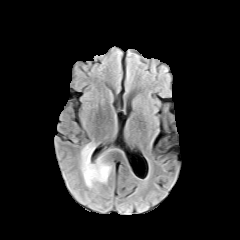
FLAIR MR.
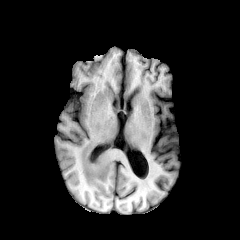
Same slice, T1-weighted MR image.
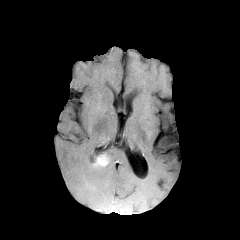
Same slice, post-contrast T1-weighted magnetic resonance.
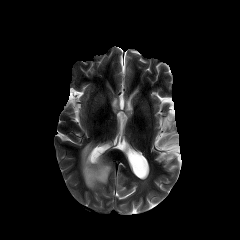
T2-weighted MR of the same slice.
Axial slice, Head
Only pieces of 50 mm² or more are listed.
{"peritumoral_edema": ["(80, 142, 111, 189)"], "enhancing_tumor": ["(94, 155, 107, 166)"]}